Axial slice. Brain.
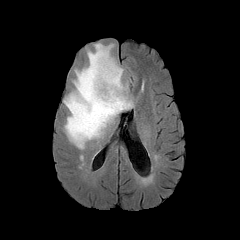
FLAIR MR image.
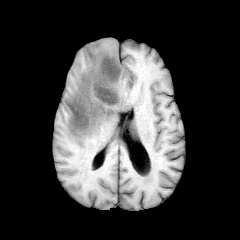
T1-weighted MRI of the same slice.
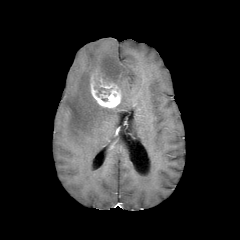
Post-contrast T1-weighted MR of the same slice.
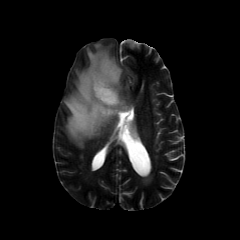
T2-weighted MR image.
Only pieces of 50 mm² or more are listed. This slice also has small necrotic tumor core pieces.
enhancing tumor: [90, 70, 121, 108] | peritumoral edema: [63, 42, 133, 148]